FLAIR MR image.
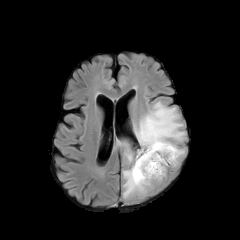
T1-weighted MR.
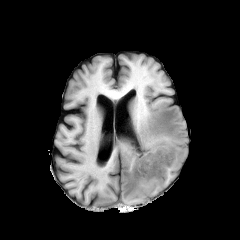
Post-contrast T1-weighted magnetic resonance.
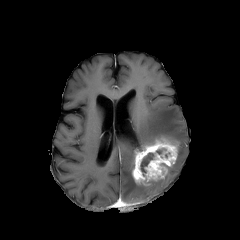
T2-weighted MRI.
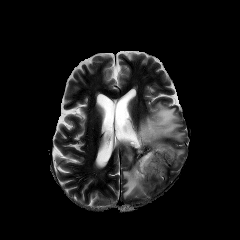
Axial plane. Head.
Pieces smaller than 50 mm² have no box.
enhancing tumor: 132,137,177,185
peritumoral edema: 134,102,185,149; 173,146,185,166; 117,141,153,198
necrotic tumor core: 141,153,153,172